Head, Slice 91 of 155
FLAIR magnetic resonance.
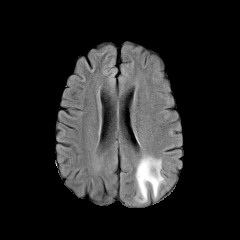
T1-weighted MRI.
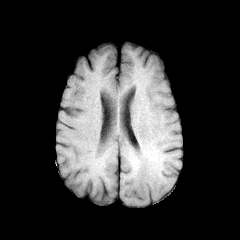
Post-contrast T1-weighted magnetic resonance.
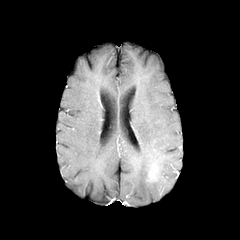
T2-weighted MRI.
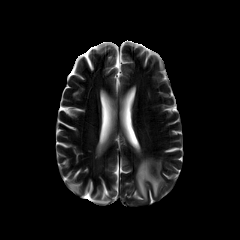
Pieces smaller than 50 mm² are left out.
Annotated regions:
- enhancing tumor: [148, 171, 155, 180]
- peritumoral edema: [135, 155, 165, 203]